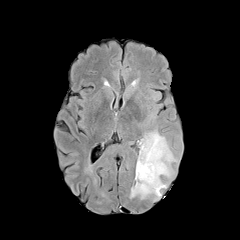
FLAIR MRI.
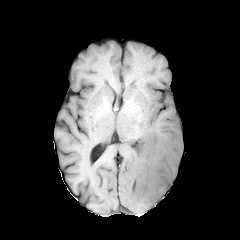
T1-weighted MRI.
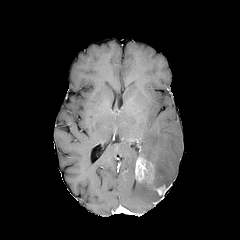
Post-contrast T1-weighted MR image.
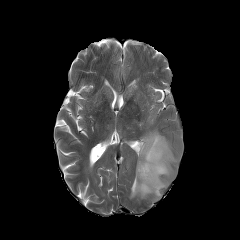
Same slice, T2-weighted MR image.
Head
Findings:
• peritumoral edema: left=130, top=129, right=177, bottom=200
• enhancing tumor: left=155, top=186, right=167, bottom=195; left=135, top=157, right=154, bottom=183